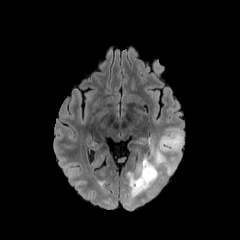
FLAIR magnetic resonance.
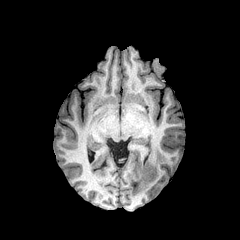
Same slice, T1-weighted MR.
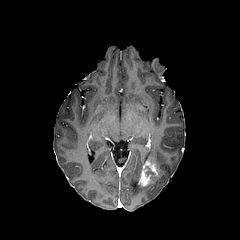
Post-contrast T1-weighted MR image.
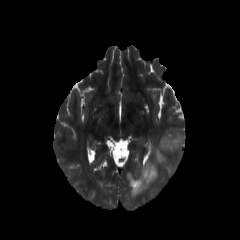
Same slice, T2-weighted MRI.
Head | Axial plane
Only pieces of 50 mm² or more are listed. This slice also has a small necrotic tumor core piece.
enhancing_tumor:
  - 138 160 158 186
peritumoral_edema:
  - 126 128 183 198
  - 148 186 160 196